FLAIR MR.
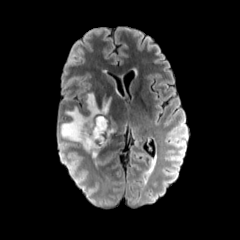
T1-weighted MR.
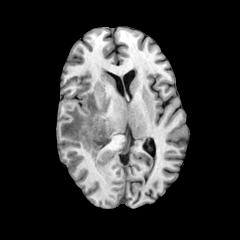
Post-contrast T1-weighted MR image.
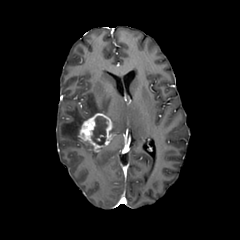
T2-weighted magnetic resonance.
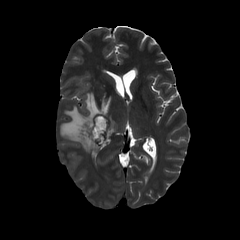
Axial slice. Head.
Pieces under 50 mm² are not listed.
peritumoral_edema:
  - x1=109 y1=117 x2=116 y2=132
  - x1=60 y1=93 x2=111 y2=157
necrotic_tumor_core:
  - x1=91 y1=116 x2=107 y2=145
enhancing_tumor:
  - x1=78 y1=113 x2=112 y2=152